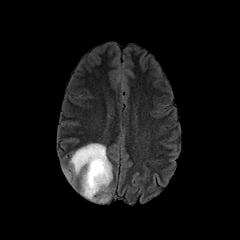
FLAIR MR image.
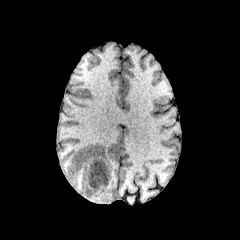
Same slice, T1-weighted magnetic resonance.
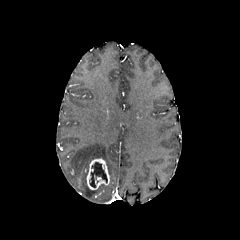
Post-contrast T1-weighted MR.
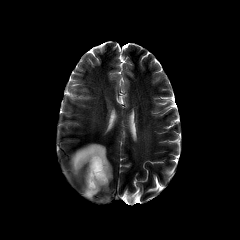
T2-weighted magnetic resonance.
Head
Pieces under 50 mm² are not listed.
Findings:
- necrotic tumor core: (89,162,107,187)
- enhancing tumor: (86,158,110,189)
- peritumoral edema: (69,143,112,202)